FLAIR MR.
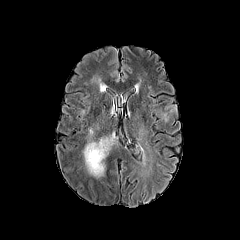
T1-weighted magnetic resonance.
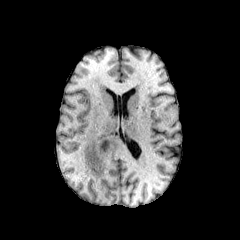
Post-contrast T1-weighted MRI.
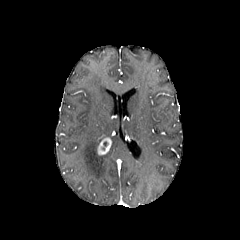
T2-weighted magnetic resonance.
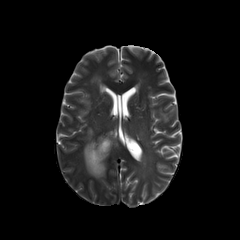
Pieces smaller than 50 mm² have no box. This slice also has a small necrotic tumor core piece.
{"peritumoral_edema": ["[x1=83, y1=141, x2=107, y2=178]"], "enhancing_tumor": ["[x1=97, y1=137, x2=111, y2=155]"]}